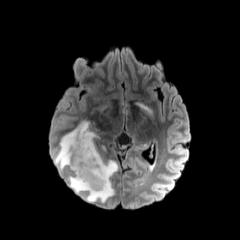
FLAIR magnetic resonance.
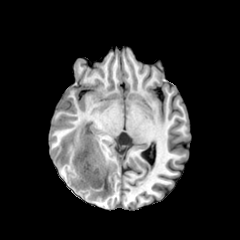
T1-weighted MR image.
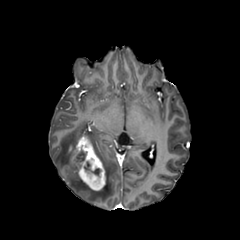
Post-contrast T1-weighted MR image.
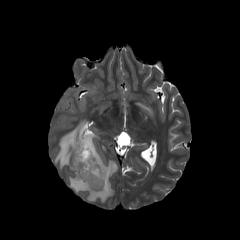
T2-weighted MRI.
240x240, Axial view
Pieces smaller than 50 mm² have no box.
necrotic tumor core — x1=84 y1=161 x2=101 y2=175, x1=77 y1=149 x2=86 y2=162
enhancing tumor — x1=70 y1=135 x2=106 y2=190
peritumoral edema — x1=54 y1=121 x2=118 y2=202